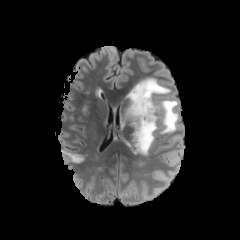
FLAIR MRI.
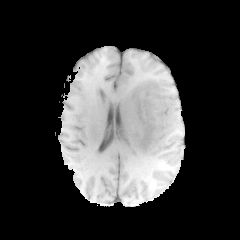
T1-weighted magnetic resonance.
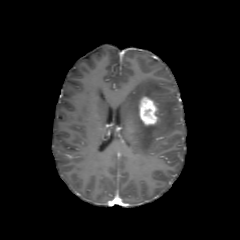
Same slice, post-contrast T1-weighted MRI.
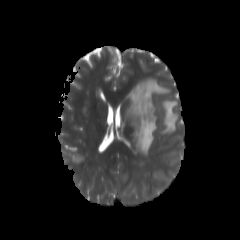
T2-weighted magnetic resonance.
Head | Axial view
enhancing tumor: bounding box 138:96:158:125
peritumoral edema: bounding box 125:78:178:155